Slice index 73
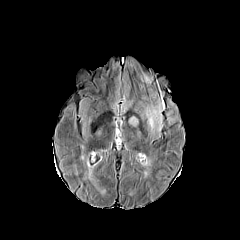
FLAIR MRI.
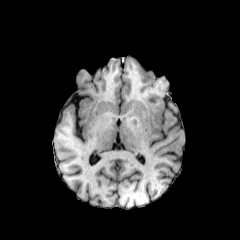
Same slice, T1-weighted MRI.
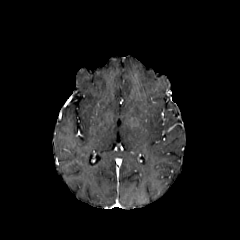
Post-contrast T1-weighted MR image of the same slice.
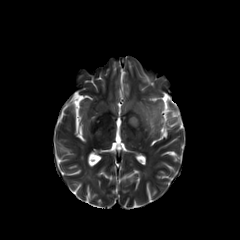
Same slice, T2-weighted magnetic resonance.
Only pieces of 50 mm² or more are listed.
The largest peritumoral edema region appears at bbox=[144, 109, 159, 131].